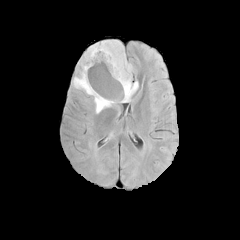
FLAIR MR.
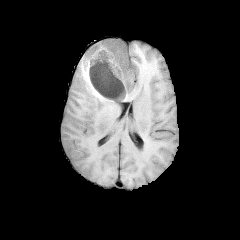
T1-weighted MR image.
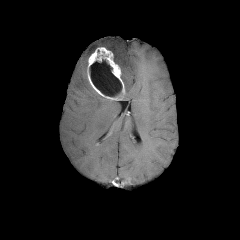
Post-contrast T1-weighted MR.
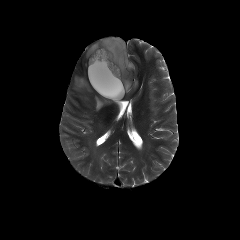
T2-weighted MRI of the same slice.
Head
necrotic tumor core: box(89, 59, 122, 96) | peritumoral edema: box(74, 40, 137, 114) | enhancing tumor: box(87, 47, 125, 100)